FLAIR MR.
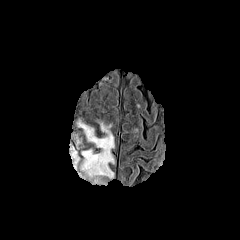
T1-weighted MR image.
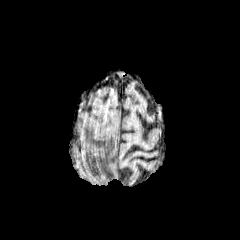
Post-contrast T1-weighted MRI.
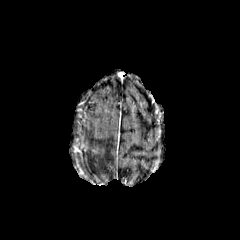
T2-weighted MR.
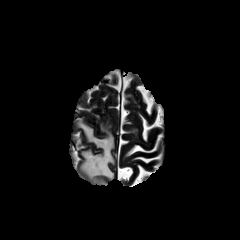
Brain.
<segmentation>
  <peritumoral_edema>l=79, t=121, r=114, b=179</peritumoral_edema>
</segmentation>